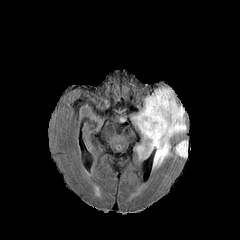
FLAIR magnetic resonance.
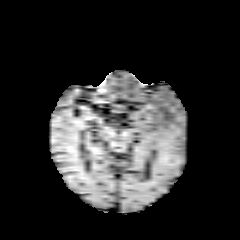
T1-weighted MRI of the same slice.
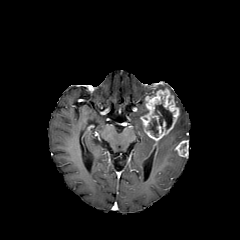
Same slice, post-contrast T1-weighted MR.
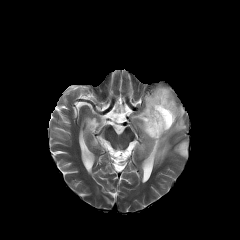
Same slice, T2-weighted MR.
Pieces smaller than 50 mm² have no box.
necrotic tumor core = x1=147, y1=118, x2=158, y2=137; x1=154, y1=103, x2=171, y2=129
enhancing tumor = x1=140, y1=88, x2=179, y2=142; x1=175, y1=140, x2=188, y2=157
peritumoral edema = x1=132, y1=102, x2=186, y2=167